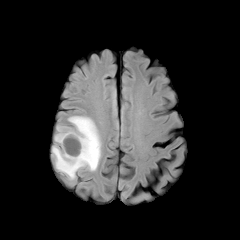
FLAIR MR image.
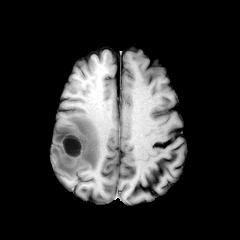
T1-weighted magnetic resonance of the same slice.
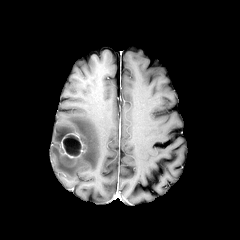
Same slice, post-contrast T1-weighted MRI.
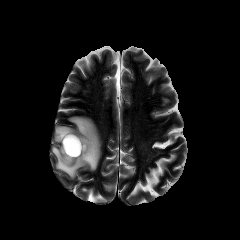
T2-weighted MRI of the same slice.
Axial slice
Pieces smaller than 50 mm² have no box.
necrotic tumor core: 63:155:74:163, 63:135:81:156 | peritumoral edema: 52:116:101:179 | enhancing tumor: 59:133:87:165